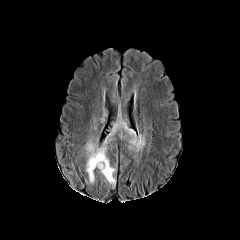
FLAIR MR image.
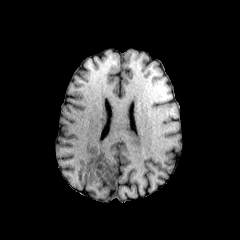
T1-weighted MR image.
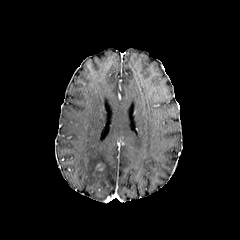
Same slice, post-contrast T1-weighted MR image.
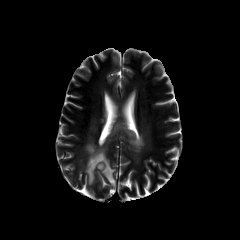
T2-weighted magnetic resonance of the same slice.
Axial slice.
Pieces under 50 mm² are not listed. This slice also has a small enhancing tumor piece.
peritumoral edema: (x1=85, y1=120, x2=144, y2=187)